Slice 110/155, Head, Axial view, Image width 240 mm, 1.00 mm slice spacing
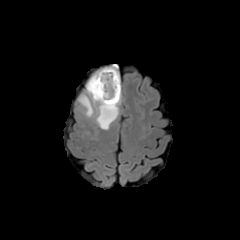
FLAIR MRI.
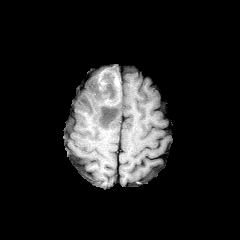
T1-weighted MRI.
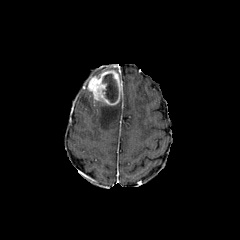
Same slice, post-contrast T1-weighted MR.
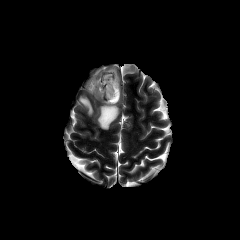
T2-weighted MRI.
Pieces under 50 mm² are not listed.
necrotic tumor core at box(103, 74, 118, 102)
peritumoral edema at box(79, 90, 119, 129)
enhancing tumor at box(87, 69, 119, 105)